FLAIR MR.
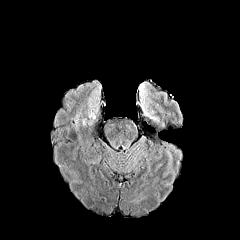
T1-weighted MRI.
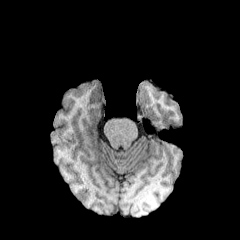
Post-contrast T1-weighted magnetic resonance.
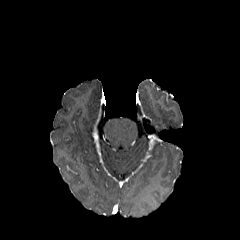
T2-weighted MR.
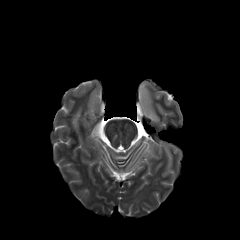
Axial slice, Brain
peritumoral edema: 139,83,153,119